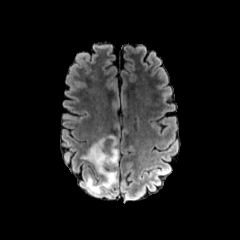
FLAIR MR.
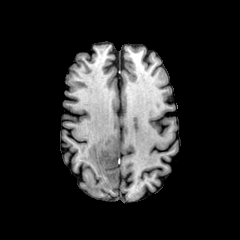
Same slice, T1-weighted MRI.
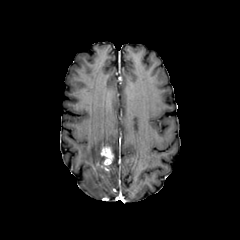
Post-contrast T1-weighted MR image of the same slice.
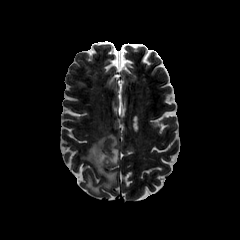
T2-weighted MR.
Axial view | 240x240
{"enhancing_tumor": ["(96,146,114,168)"], "peritumoral_edema": ["(81,135,118,195)"]}